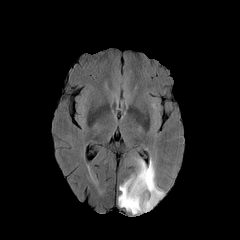
FLAIR magnetic resonance.
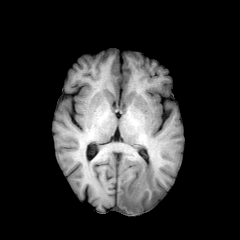
T1-weighted MR.
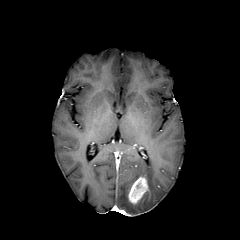
Same slice, post-contrast T1-weighted MRI.
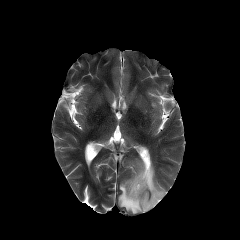
T2-weighted MRI.
Axial view; 240x240 px
Annotated regions:
* enhancing tumor: [128,177,148,203]
* peritumoral edema: [118,159,164,214]